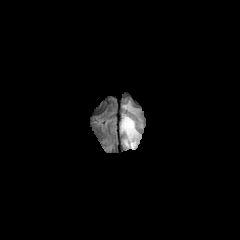
FLAIR magnetic resonance.
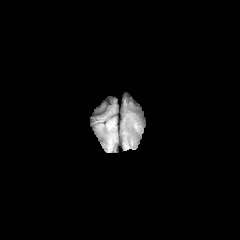
T1-weighted magnetic resonance.
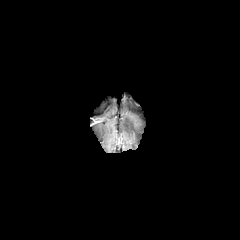
Post-contrast T1-weighted MR.
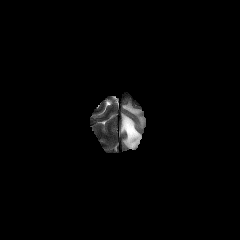
T2-weighted MR image of the same slice.
2 peritumoral edema regions appear at box(123, 103, 136, 113); box(121, 114, 141, 149).